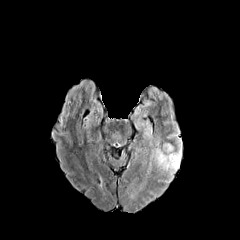
FLAIR MR.
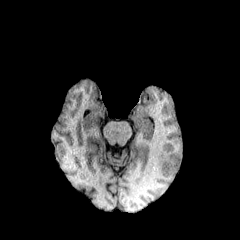
T1-weighted MR of the same slice.
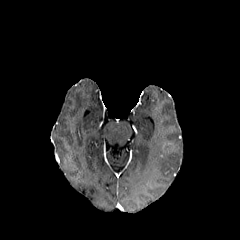
Post-contrast T1-weighted magnetic resonance.
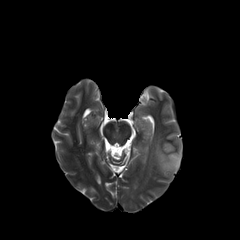
T2-weighted magnetic resonance.
240x240, Brain
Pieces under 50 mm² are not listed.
The largest peritumoral edema region is at rect(151, 139, 181, 174).